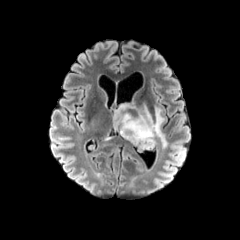
FLAIR MRI.
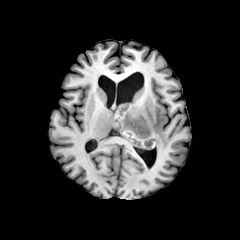
T1-weighted MR image.
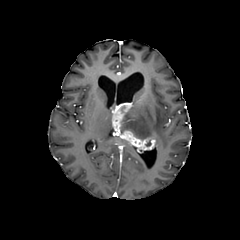
Same slice, post-contrast T1-weighted MR image.
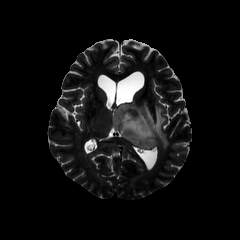
T2-weighted MR image.
240x240
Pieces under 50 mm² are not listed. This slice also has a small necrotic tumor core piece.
peritumoral edema: [x1=121, y1=104, x2=167, y2=147]
enhancing tumor: [x1=112, y1=102, x2=132, y2=133], [x1=121, y1=130, x2=155, y2=150]